FLAIR MR image.
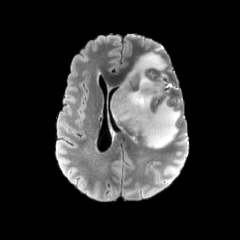
T1-weighted MR.
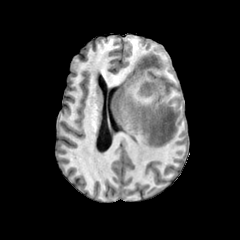
Post-contrast T1-weighted MR.
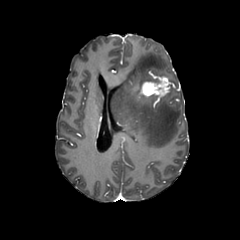
T2-weighted magnetic resonance.
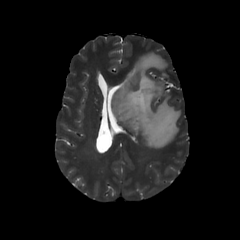
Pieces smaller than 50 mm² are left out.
<segmentation>
  <peritumoral_edema>bbox=[111, 52, 180, 148]</peritumoral_edema>
  <enhancing_tumor>bbox=[140, 76, 172, 97]</enhancing_tumor>
</segmentation>